Image width 240 mm. Brain.
FLAIR magnetic resonance.
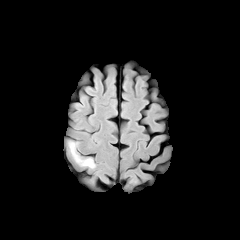
T1-weighted MRI.
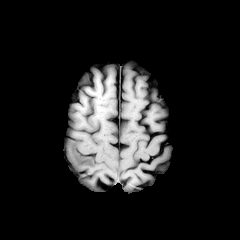
Post-contrast T1-weighted magnetic resonance.
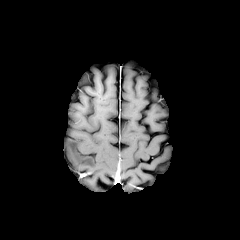
T2-weighted magnetic resonance.
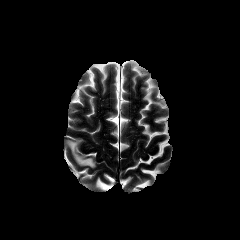
The peritumoral edema appears at {"x1": 68, "y1": 141, "x2": 94, "y2": 167}.